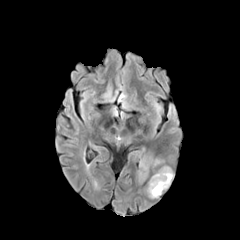
FLAIR MR.
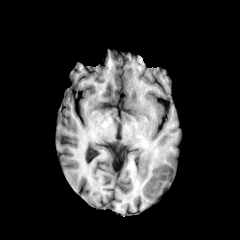
T1-weighted magnetic resonance.
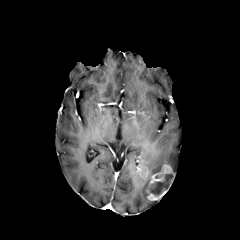
Same slice, post-contrast T1-weighted MRI.
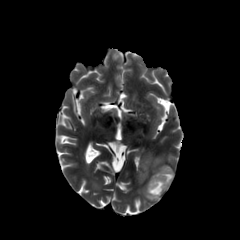
Same slice, T2-weighted MR.
240x240
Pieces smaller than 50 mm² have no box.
<segmentation>
  <peritumoral_edema>139, 154, 164, 173</peritumoral_edema>
  <enhancing_tumor>141, 167, 149, 180; 146, 164, 174, 200</enhancing_tumor>
  <necrotic_tumor_core>150, 174, 173, 194</necrotic_tumor_core>
</segmentation>